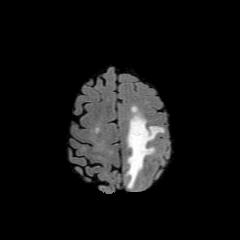
FLAIR MR image.
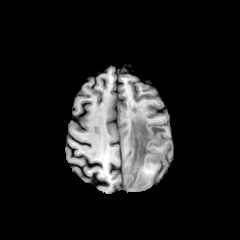
T1-weighted MR image.
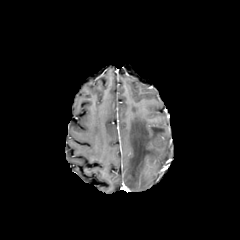
Post-contrast T1-weighted MRI of the same slice.
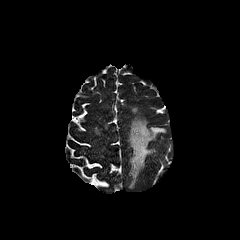
T2-weighted magnetic resonance of the same slice.
Brain, Axial view, Image size 240x240
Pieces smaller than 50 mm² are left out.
peritumoral edema at rect(127, 114, 164, 187)